Axial view | Brain | Image width 240 mm, 1.00 mm slice spacing | Image size 240x240
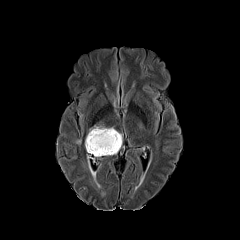
FLAIR MR.
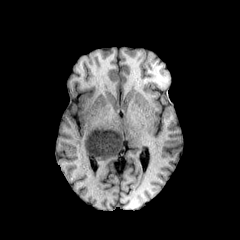
T1-weighted MRI.
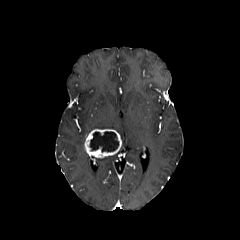
Post-contrast T1-weighted MRI of the same slice.
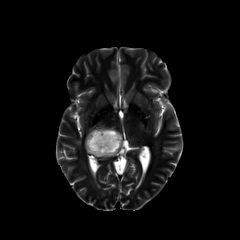
Same slice, T2-weighted MR image.
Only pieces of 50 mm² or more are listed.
The largest peritumoral edema region is bounded by 89,125,113,132. The necrotic tumor core is at 89,131,118,152. The enhancing tumor is at 84,129,121,157.